240x240 px.
FLAIR MRI.
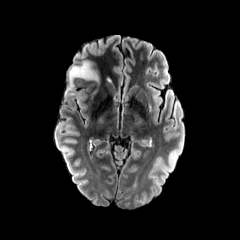
T1-weighted MR image.
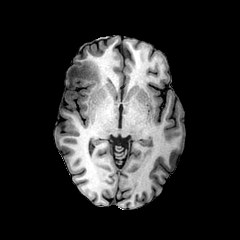
Post-contrast T1-weighted magnetic resonance.
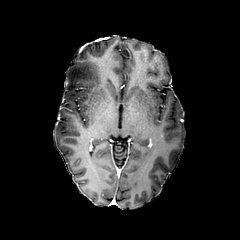
T2-weighted magnetic resonance.
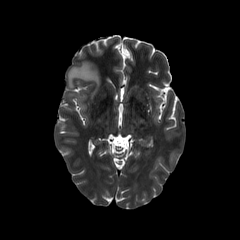
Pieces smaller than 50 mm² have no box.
The largest peritumoral edema region lies within [x1=68, y1=61, x2=98, y2=89].